FLAIR MR image.
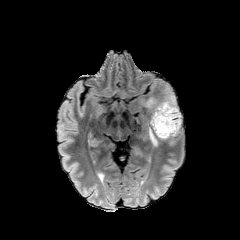
T1-weighted MRI.
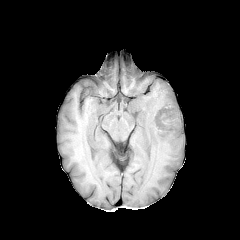
Post-contrast T1-weighted MR.
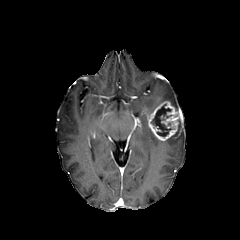
T2-weighted MR.
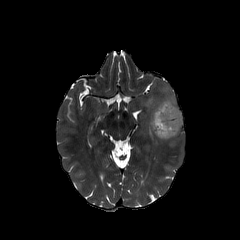
Axial slice. Head.
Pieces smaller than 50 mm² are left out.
necrotic_tumor_core:
  - (x1=151, y1=104, x2=171, y2=136)
peritumoral_edema:
  - (x1=144, y1=87, x2=178, y2=114)
  - (x1=148, y1=127, x2=164, y2=145)
  - (x1=166, y1=120, x2=182, y2=144)
enhancing_tumor:
  - (x1=148, y1=101, x2=181, y2=140)